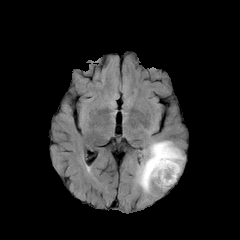
FLAIR MRI.
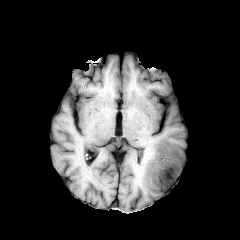
T1-weighted MR.
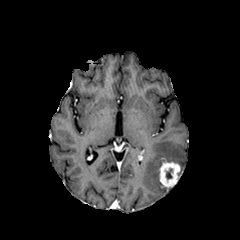
Post-contrast T1-weighted magnetic resonance.
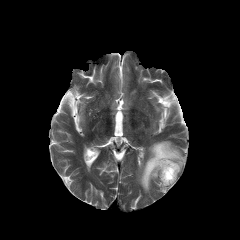
T2-weighted MRI.
Head
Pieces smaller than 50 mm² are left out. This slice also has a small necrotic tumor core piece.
peritumoral edema: bounding box bbox(137, 141, 184, 192)
enhancing tumor: bounding box bbox(158, 161, 180, 188)